FLAIR MRI.
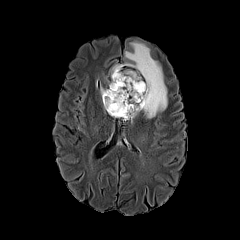
T1-weighted MRI.
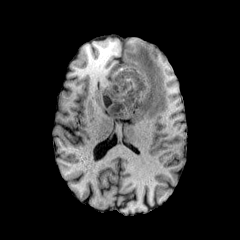
Post-contrast T1-weighted MRI.
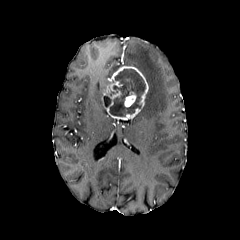
T2-weighted MRI.
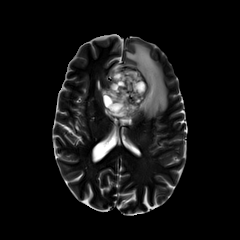
Brain.
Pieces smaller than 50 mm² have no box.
<segmentation>
  <enhancing_tumor>x1=102, y1=65, x2=148, y2=119; x1=124, y1=91, x2=136, y2=107</enhancing_tumor>
  <necrotic_tumor_core>x1=109, y1=69, x2=145, y2=116; x1=103, y1=96, x2=111, y2=107</necrotic_tumor_core>
  <peritumoral_edema>x1=111, y1=42, x2=167, y2=118</peritumoral_edema>
</segmentation>